Image size 240x240. Brain. Slice 128/155.
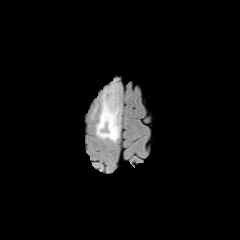
FLAIR MR.
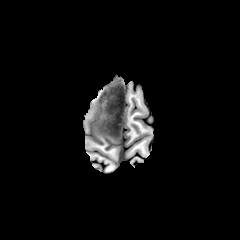
T1-weighted MR of the same slice.
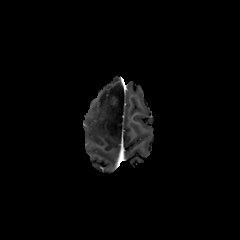
Post-contrast T1-weighted MR.
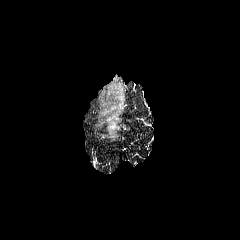
T2-weighted magnetic resonance of the same slice.
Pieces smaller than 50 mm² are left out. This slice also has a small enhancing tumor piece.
Segmented structures:
- peritumoral edema: {"x1": 95, "y1": 80, "x2": 122, "y2": 142}